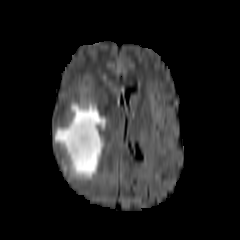
FLAIR MR.
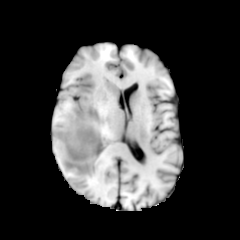
T1-weighted MRI.
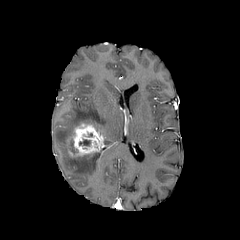
Post-contrast T1-weighted MR.
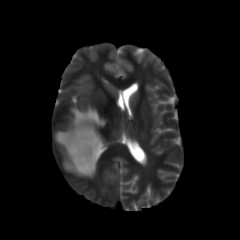
T2-weighted MR.
Head
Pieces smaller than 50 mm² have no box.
<segmentation>
  <enhancing_tumor>bbox(66, 121, 98, 158)</enhancing_tumor>
  <necrotic_tumor_core>bbox(79, 139, 90, 146)</necrotic_tumor_core>
  <peritumoral_edema>bbox(54, 103, 105, 179)</peritumoral_edema>
</segmentation>